Axial plane, Slice 134 of 155, Brain
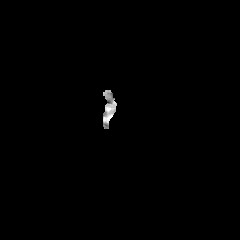
FLAIR MR.
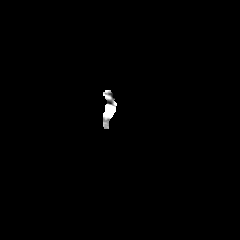
T1-weighted MR image of the same slice.
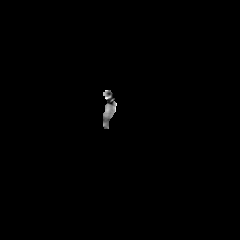
Same slice, post-contrast T1-weighted magnetic resonance.
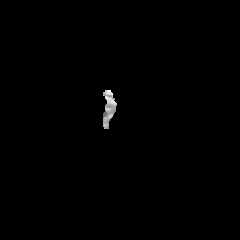
T2-weighted magnetic resonance.
- peritumoral edema: rect(103, 107, 113, 121)